Axial slice | Head
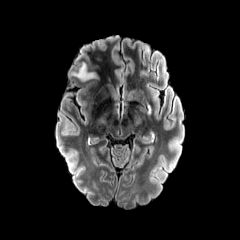
FLAIR MR.
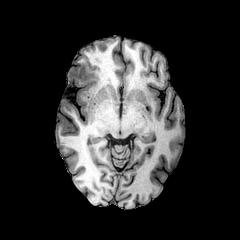
T1-weighted magnetic resonance of the same slice.
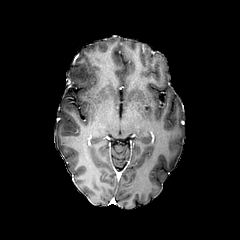
Post-contrast T1-weighted MRI.
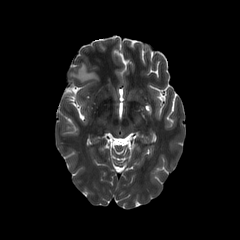
T2-weighted MR.
peritumoral edema: x1=71, y1=63, x2=96, y2=80